Head; Axial plane
FLAIR MRI.
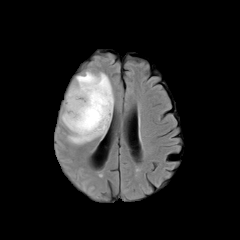
T1-weighted magnetic resonance.
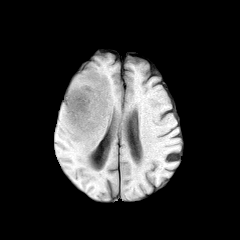
Post-contrast T1-weighted magnetic resonance.
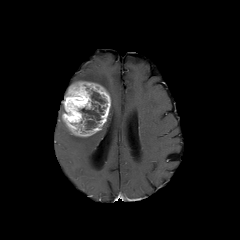
T2-weighted MR image.
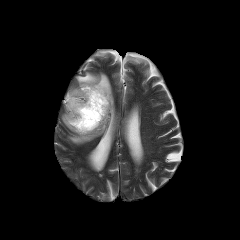
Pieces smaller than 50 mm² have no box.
The 2 largest necrotic tumor core regions are located at (x1=81, y1=102, x2=103, y2=129), (x1=91, y1=91, x2=105, y2=103). The largest enhancing tumor region is at (x1=62, y1=81, x2=110, y2=136). The largest peritumoral edema region is at (x1=67, y1=71, x2=114, y2=144).